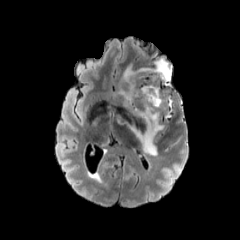
FLAIR MRI.
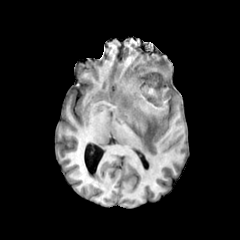
Same slice, T1-weighted MR.
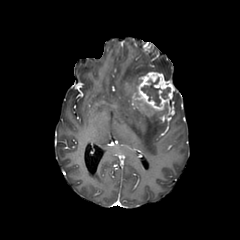
Post-contrast T1-weighted MR of the same slice.
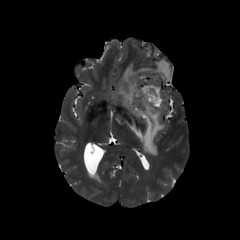
Same slice, T2-weighted MR.
Axial plane. Head.
peritumoral edema — 118, 57, 172, 155
enhancing tumor — 136, 72, 174, 110
necrotic tumor core — 141, 78, 170, 105